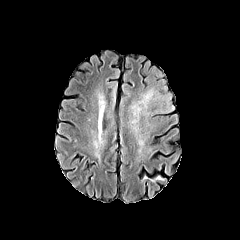
FLAIR MRI.
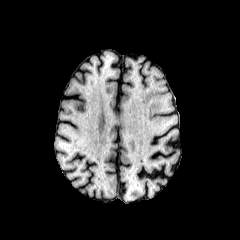
T1-weighted MR image.
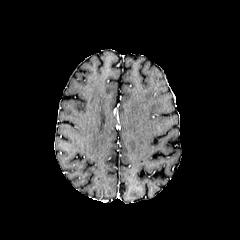
Post-contrast T1-weighted MRI.
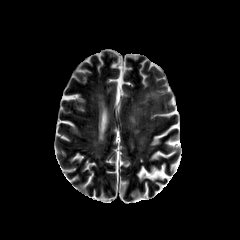
Same slice, T2-weighted MR.
Head
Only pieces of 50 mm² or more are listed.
<segmentation>
  <peritumoral_edema><bbox>138, 90, 158, 108</bbox></peritumoral_edema>
</segmentation>